Slice index 43, Head
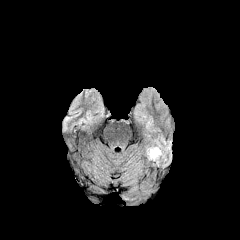
FLAIR magnetic resonance.
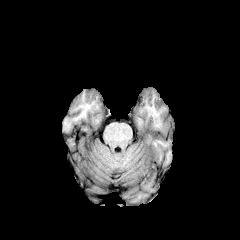
T1-weighted MR of the same slice.
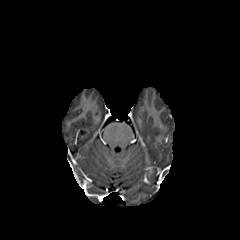
Post-contrast T1-weighted MR image.
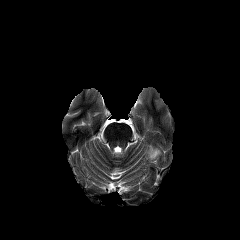
Same slice, T2-weighted MR image.
<segmentation>
  <peritumoral_edema>box=[147, 147, 161, 162]</peritumoral_edema>
</segmentation>